FLAIR MR.
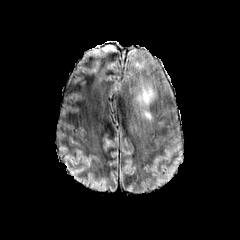
T1-weighted MR image.
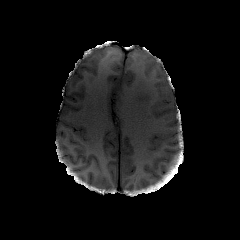
Post-contrast T1-weighted MRI.
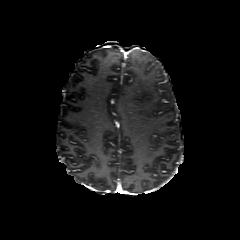
T2-weighted MR.
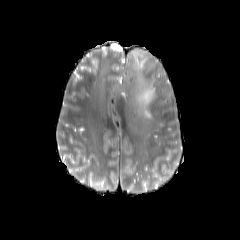
Brain
peritumoral edema: 133,75,156,121; 136,64,143,72